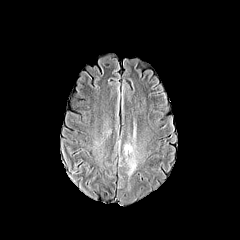
FLAIR MR image.
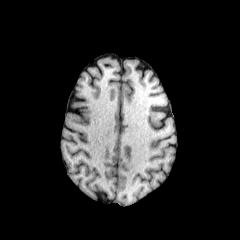
T1-weighted MRI.
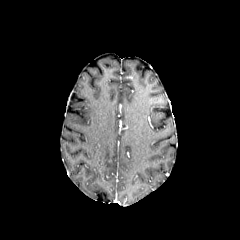
Post-contrast T1-weighted MRI of the same slice.
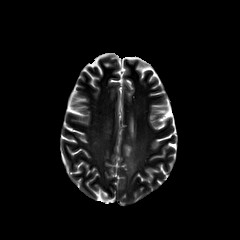
Same slice, T2-weighted MR image.
Brain
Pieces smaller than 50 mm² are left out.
The largest peritumoral edema region is bounded by bbox(124, 143, 137, 176).